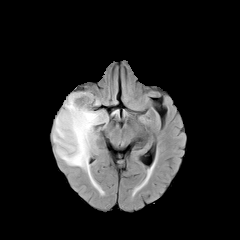
FLAIR MRI.
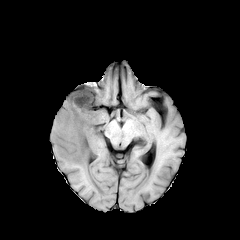
T1-weighted magnetic resonance.
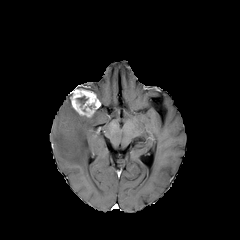
Same slice, post-contrast T1-weighted MRI.
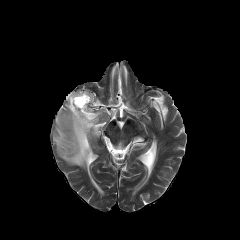
Same slice, T2-weighted MR.
Brain
The enhancing tumor is bounded by bbox=[70, 89, 100, 117]. The necrotic tumor core lies within bbox=[77, 96, 87, 104]. The peritumoral edema appears at bbox=[53, 94, 108, 179].